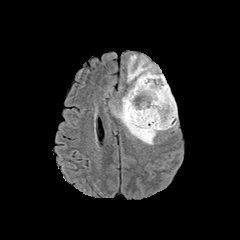
FLAIR MR image.
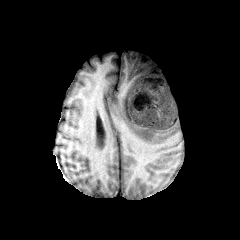
T1-weighted magnetic resonance.
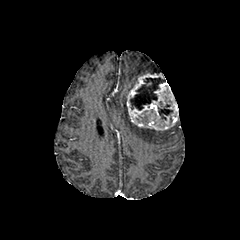
Post-contrast T1-weighted MR of the same slice.
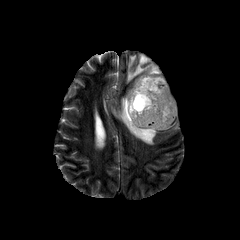
Same slice, T2-weighted magnetic resonance.
Axial slice; 240x240 px; Head
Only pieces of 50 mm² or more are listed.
The 2 largest necrotic tumor core regions are bounded by {"x1": 130, "y1": 77, "x2": 165, "y2": 110}, {"x1": 158, "y1": 104, "x2": 172, "y2": 120}. The largest enhancing tumor region appears at {"x1": 126, "y1": 72, "x2": 178, "y2": 130}. The 2 largest peritumoral edema regions are bounded by {"x1": 112, "y1": 95, "x2": 158, "y2": 144}, {"x1": 127, "y1": 55, "x2": 158, "y2": 82}.